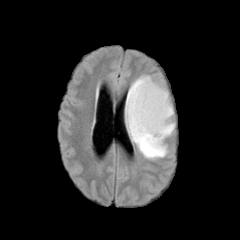
FLAIR MR.
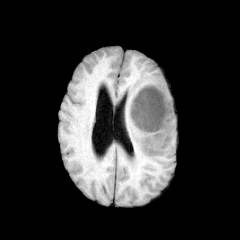
T1-weighted MRI.
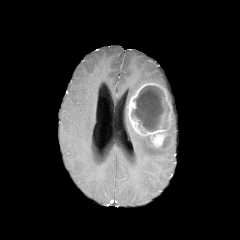
Same slice, post-contrast T1-weighted MR.
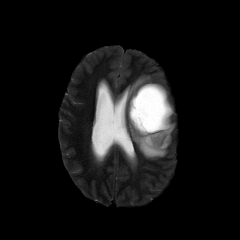
T2-weighted MR image.
Axial slice
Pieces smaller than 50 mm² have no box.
necrotic tumor core: bounding box left=131, top=85, right=169, bottom=131
peritumoral edema: bounding box left=125, top=75, right=168, bottom=159; left=166, top=106, right=175, bottom=136
enhancing tumor: bounding box left=128, top=83, right=172, bottom=147